FLAIR MR image.
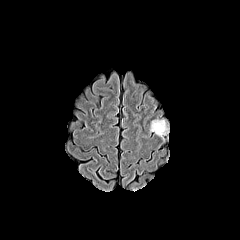
T1-weighted MR image.
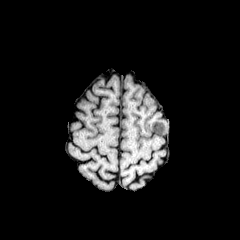
Post-contrast T1-weighted MR image.
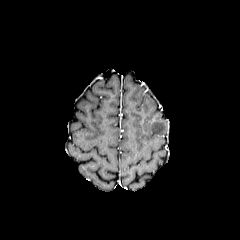
T2-weighted MR.
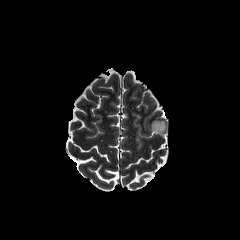
Head. Image size 240x240.
peritumoral edema: [150, 120, 166, 136]